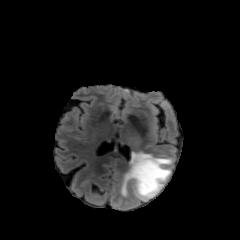
FLAIR MR image.
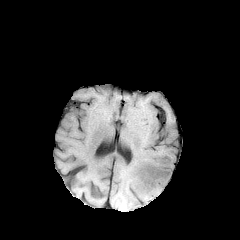
Same slice, T1-weighted MRI.
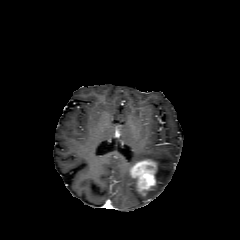
Post-contrast T1-weighted MR image.
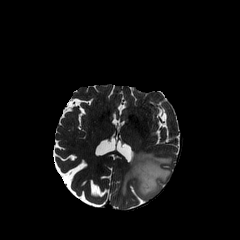
T2-weighted MR image.
240x240 px; Axial slice
peritumoral edema: bounding box 121 152 173 200
enhancing tumor: bounding box 130 160 157 191